Head. Image size 240x240.
FLAIR magnetic resonance.
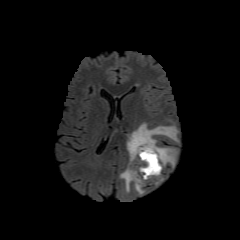
T1-weighted MR image.
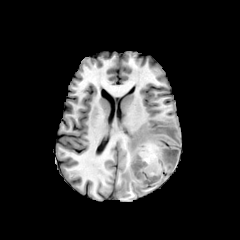
Post-contrast T1-weighted MR image.
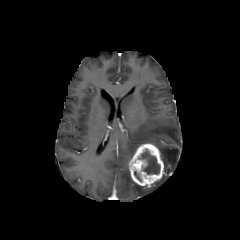
T2-weighted MR image.
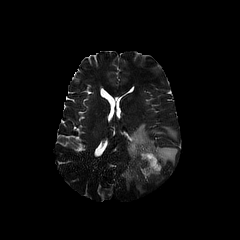
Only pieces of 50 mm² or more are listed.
Findings:
* peritumoral edema: x1=120 y1=164 x2=133 y2=191, x1=126 y1=123 x2=178 y2=167, x1=135 y1=183 x2=144 y2=194
* necrotic tumor core: x1=138 y1=149 x2=160 y2=174
* enhancing tumor: x1=129 y1=143 x2=163 y2=185